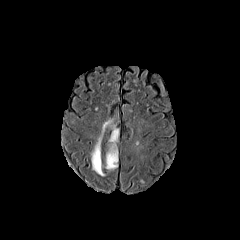
FLAIR MRI.
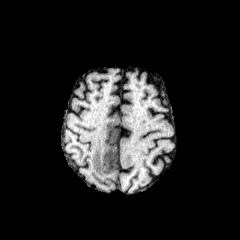
T1-weighted MR image.
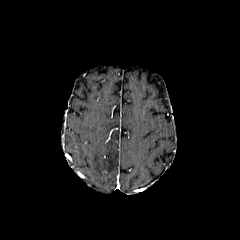
Post-contrast T1-weighted MRI of the same slice.
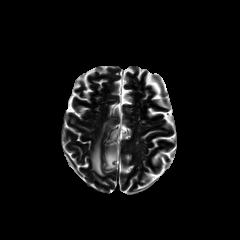
T2-weighted MR image of the same slice.
Brain
2 peritumoral edema regions are bounded by x1=105 y1=130 x2=118 y2=169, x1=91 y1=119 x2=115 y2=176.